Brain
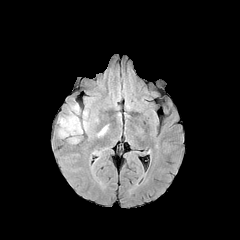
FLAIR magnetic resonance.
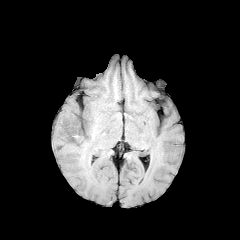
Same slice, T1-weighted MR image.
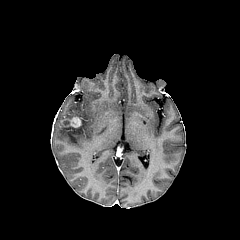
Post-contrast T1-weighted MRI of the same slice.
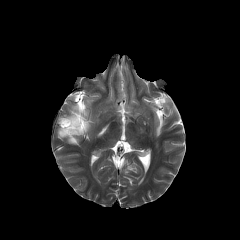
T2-weighted MR image of the same slice.
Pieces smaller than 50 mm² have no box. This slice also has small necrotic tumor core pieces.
enhancing tumor — 61,116,81,127
peritumoral edema — 98,126,107,136; 82,120,89,131; 72,104,79,114; 58,114,82,137